Image size 240x240 | Axial slice
FLAIR MRI.
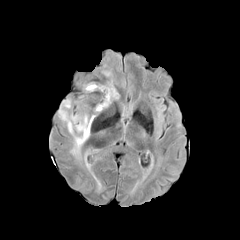
T1-weighted MR.
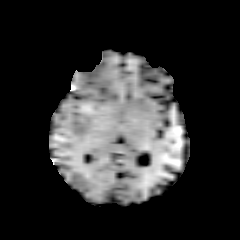
Post-contrast T1-weighted MR.
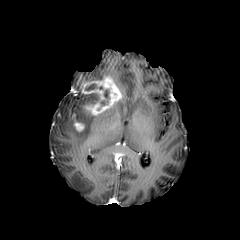
T2-weighted magnetic resonance.
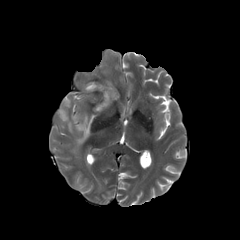
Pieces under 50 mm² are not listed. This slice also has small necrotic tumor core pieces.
The 2 largest enhancing tumor regions are bounded by 72 114 84 131, 80 73 121 115. The largest peritumoral edema region appears at 58 99 95 154.